FLAIR magnetic resonance.
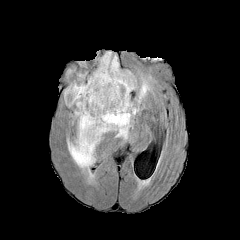
T1-weighted MR.
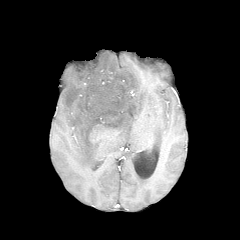
Post-contrast T1-weighted MR image.
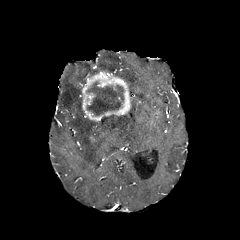
T2-weighted MR.
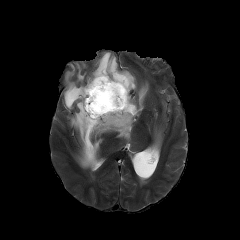
Axial view; 240x240
The enhancing tumor lies within <bbox>79, 71, 131, 121</bbox>. The necrotic tumor core lies within <bbox>87, 82, 123, 115</bbox>. 4 peritumoral edema regions are bounded by <bbox>137, 81, 149, 102</bbox>, <bbox>90, 51, 136, 91</bbox>, <bbox>66, 70, 74, 81</bbox>, <bbox>63, 73, 138, 169</bbox>.